Slice index 69
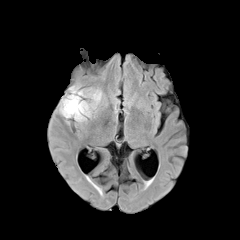
FLAIR magnetic resonance.
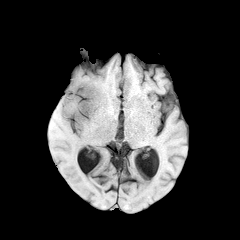
Same slice, T1-weighted MR image.
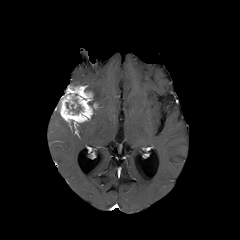
Same slice, post-contrast T1-weighted MR.
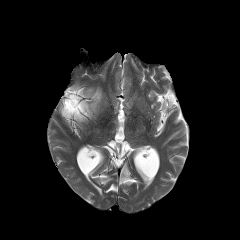
Same slice, T2-weighted MR image.
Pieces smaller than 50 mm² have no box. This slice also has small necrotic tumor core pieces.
The enhancing tumor appears at <box>60,85,98,126</box>. The largest peritumoral edema region appears at <box>87,88,102,107</box>.